FLAIR MR.
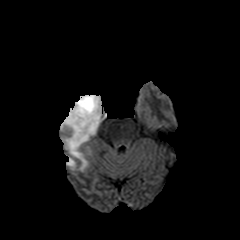
T1-weighted MR image.
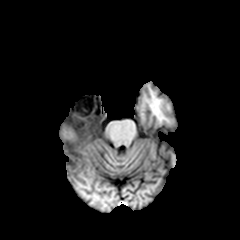
Post-contrast T1-weighted MR image.
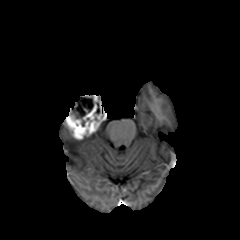
T2-weighted MR.
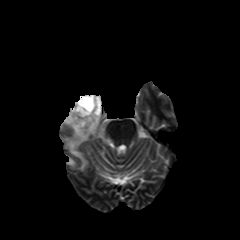
Axial slice.
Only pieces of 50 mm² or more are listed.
necrotic tumor core: 72, 97, 93, 118
enhancing tumor: 63, 95, 105, 139
peritumoral edema: 66, 157, 75, 168; 64, 136, 89, 170